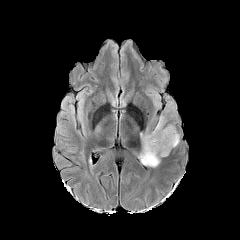
FLAIR MR.
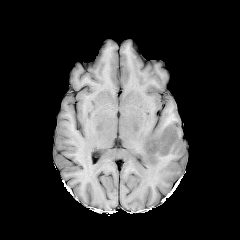
T1-weighted MRI.
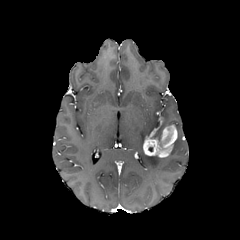
Post-contrast T1-weighted MR image.
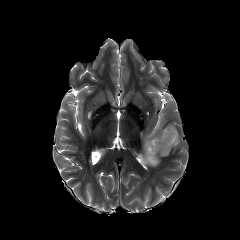
T2-weighted MRI of the same slice.
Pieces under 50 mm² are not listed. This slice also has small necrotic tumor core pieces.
enhancing_tumor:
  - (143, 125, 177, 157)
peritumoral_edema:
  - (140, 128, 150, 143)
  - (139, 149, 160, 167)
  - (151, 117, 164, 141)